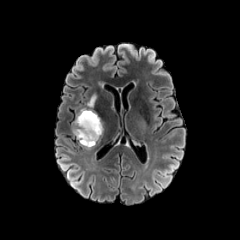
FLAIR MR.
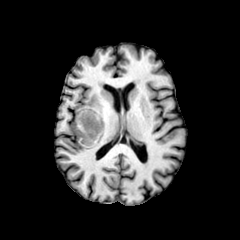
Same slice, T1-weighted MRI.
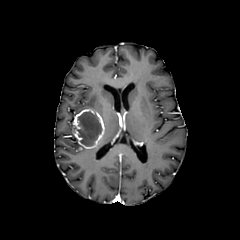
Post-contrast T1-weighted MR of the same slice.
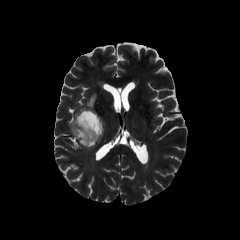
T2-weighted MRI.
Axial slice, 240x240, Brain
{"peritumoral_edema": ["<bbox>78, 94, 96, 112</bbox>"], "enhancing_tumor": ["<bbox>72, 109, 104, 148</bbox>"], "necrotic_tumor_core": ["<bbox>78, 111, 101, 146</bbox>"]}